Image width 240 mm
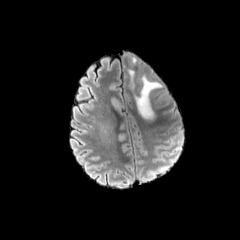
FLAIR MR image.
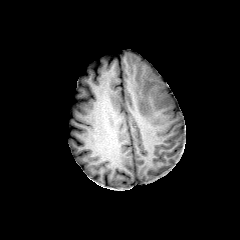
T1-weighted MR.
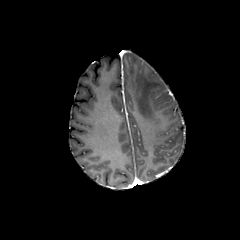
Same slice, post-contrast T1-weighted magnetic resonance.
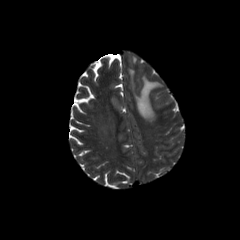
T2-weighted MR.
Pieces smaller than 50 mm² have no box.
<segmentation>
  <peritumoral_edema>128, 69, 134, 88; 135, 74, 161, 119</peritumoral_edema>
</segmentation>